Slice 100/155; Head
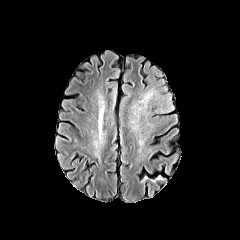
FLAIR MR image.
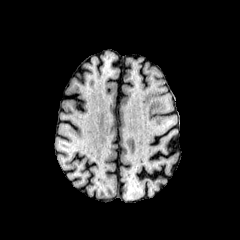
T1-weighted MR.
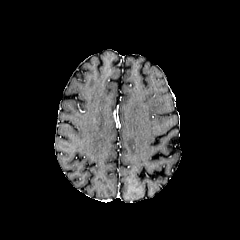
Post-contrast T1-weighted magnetic resonance.
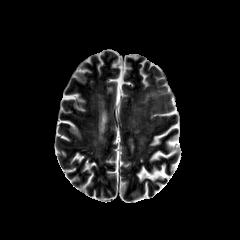
T2-weighted MR of the same slice.
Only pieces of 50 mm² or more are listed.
Findings:
• peritumoral edema: (139,90,156,107)